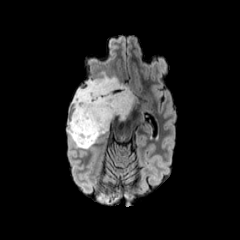
FLAIR MR.
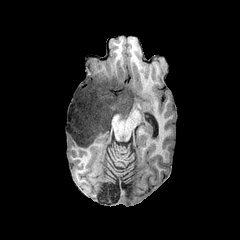
T1-weighted MR.
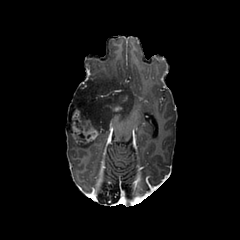
Post-contrast T1-weighted MR.
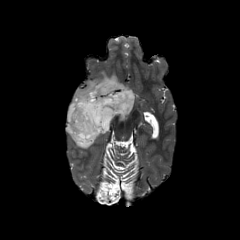
T2-weighted magnetic resonance.
240x240 px. Brain.
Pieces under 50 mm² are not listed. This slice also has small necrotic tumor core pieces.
Findings:
• enhancing tumor: [x1=69, y1=106, x2=98, y2=144]
• peritumoral edema: [x1=66, y1=71, x2=134, y2=148]